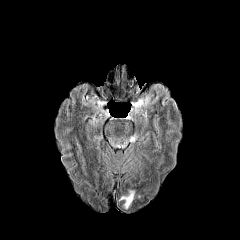
FLAIR MR.
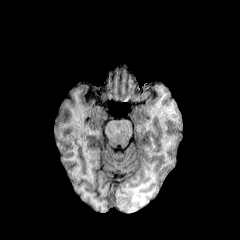
T1-weighted MRI.
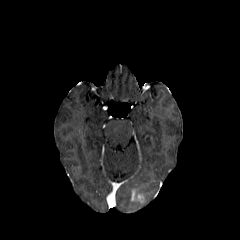
Post-contrast T1-weighted MR.
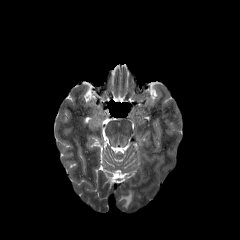
T2-weighted MRI.
Brain. Axial slice.
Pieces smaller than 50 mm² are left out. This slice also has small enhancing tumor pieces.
Annotated regions:
* peritumoral edema: 120,189,132,209